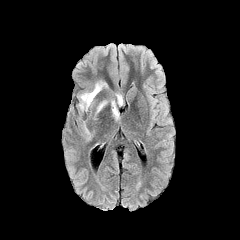
FLAIR magnetic resonance.
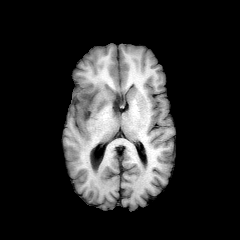
T1-weighted MR.
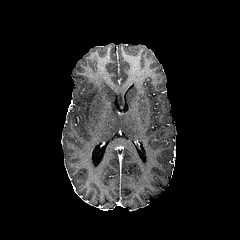
Post-contrast T1-weighted MR image.
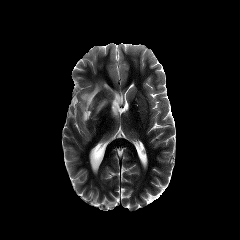
Same slice, T2-weighted MR image.
Axial plane
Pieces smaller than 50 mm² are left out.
The 5 largest peritumoral edema regions are located at x1=111, y1=100, x2=119, y2=120; x1=116, y1=94, x2=122, y2=105; x1=95, y1=100, x2=107, y2=115; x1=81, y1=121, x2=92, y2=140; x1=78, y1=81, x2=107, y2=112.